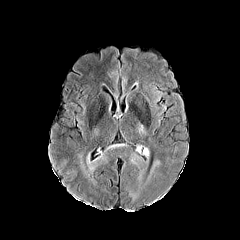
FLAIR MR image.
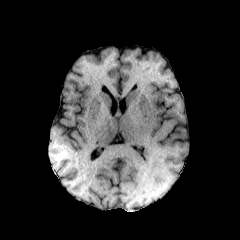
Same slice, T1-weighted magnetic resonance.
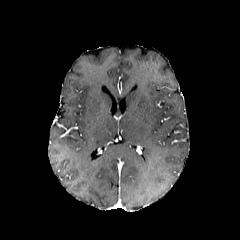
Post-contrast T1-weighted magnetic resonance.
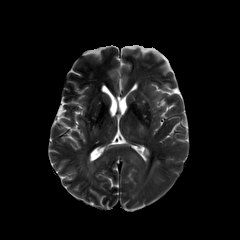
Same slice, T2-weighted MRI.
Axial plane.
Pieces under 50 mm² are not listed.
peritumoral edema — left=131, top=155, right=138, bottom=164; left=143, top=147, right=149, bottom=157